FLAIR magnetic resonance.
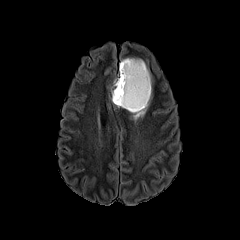
T1-weighted MR.
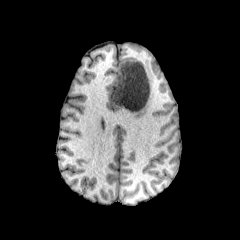
Post-contrast T1-weighted MRI.
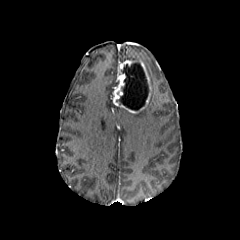
T2-weighted MR image.
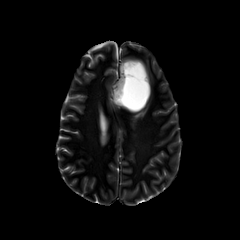
Axial plane; Brain
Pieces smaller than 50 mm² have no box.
peritumoral_edema:
  - x1=121, y1=58, x2=151, y2=121
necrotic_tumor_core:
  - x1=117, y1=61, x2=149, y2=110
enhancing_tumor:
  - x1=112, y1=60, x2=150, y2=113